FLAIR MR.
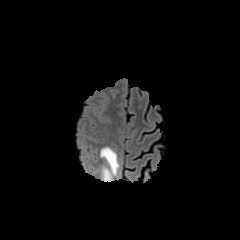
T1-weighted magnetic resonance.
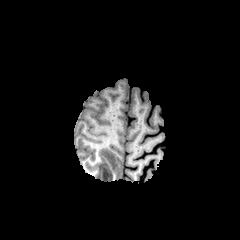
Post-contrast T1-weighted MR.
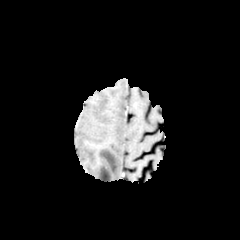
T2-weighted MRI.
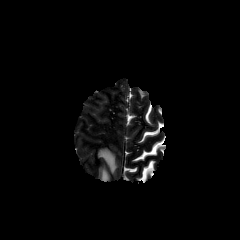
240x240 px, Brain
peritumoral edema at 99 147 119 181